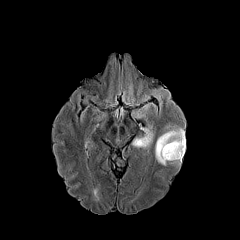
FLAIR MR.
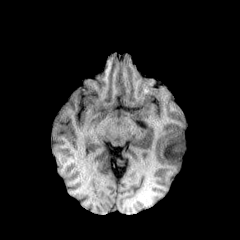
T1-weighted magnetic resonance of the same slice.
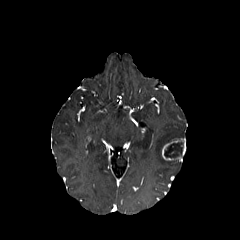
Post-contrast T1-weighted MR.
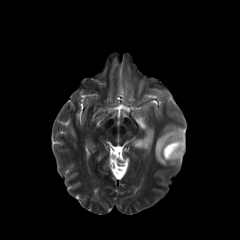
T2-weighted magnetic resonance of the same slice.
Axial plane, Image size 240x240, Brain
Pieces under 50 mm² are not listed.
enhancing_tumor:
  - (x1=162, y1=138, x2=185, y2=161)
necrotic_tumor_core:
  - (x1=164, y1=142, x2=183, y2=157)
peritumoral_edema:
  - (x1=155, y1=128, x2=184, y2=165)
  - (x1=132, y1=129, x2=151, y2=149)